Brain.
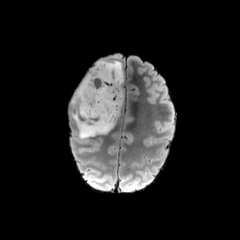
FLAIR MR.
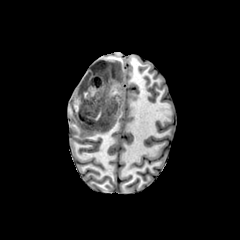
T1-weighted magnetic resonance.
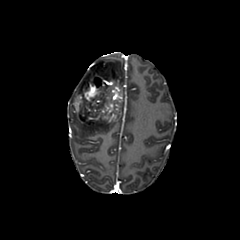
Post-contrast T1-weighted MR image.
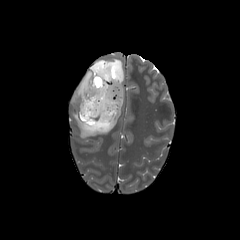
T2-weighted MR of the same slice.
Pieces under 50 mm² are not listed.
enhancing tumor: left=73, top=68, right=123, bottom=125
necrotic tumor core: left=89, top=74, right=103, bottom=87; left=79, top=111, right=89, bottom=120
peritumoral edema: left=72, top=60, right=123, bottom=104; left=72, top=109, right=120, bottom=138